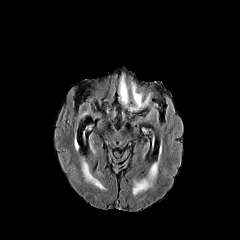
FLAIR MR image.
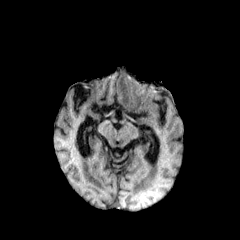
Same slice, T1-weighted MR image.
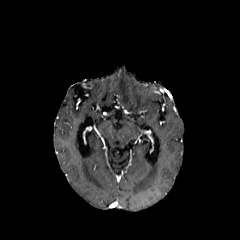
Post-contrast T1-weighted magnetic resonance.
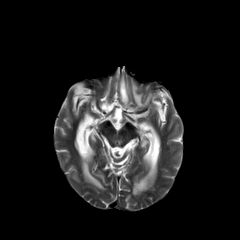
T2-weighted MR.
Brain | 240x240 px
peritumoral edema = x1=133, y1=164, x2=157, y2=194; x1=119, y1=75, x2=128, y2=106; x1=82, y1=162, x2=104, y2=189; x1=130, y1=82, x2=150, y2=110